FLAIR MR.
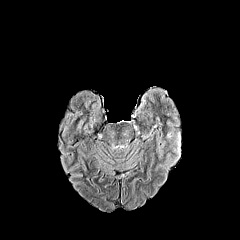
T1-weighted MRI.
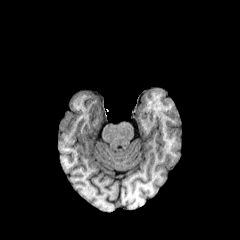
Post-contrast T1-weighted MRI.
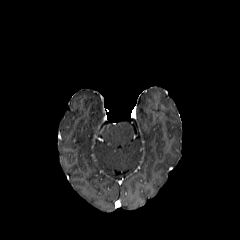
T2-weighted magnetic resonance.
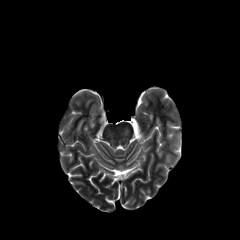
Axial slice
peritumoral edema = [176, 133, 180, 150]